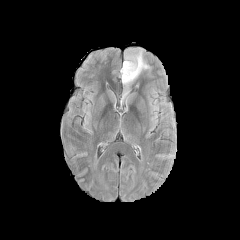
FLAIR MR image.
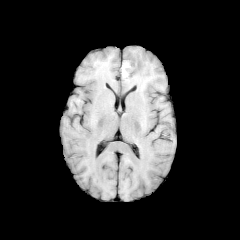
T1-weighted magnetic resonance of the same slice.
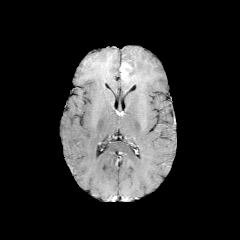
Post-contrast T1-weighted MR image.
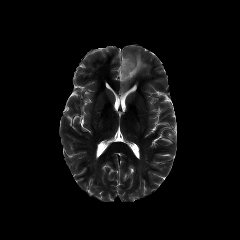
Same slice, T2-weighted magnetic resonance.
Axial plane; 240x240
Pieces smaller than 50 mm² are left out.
The enhancing tumor is located at [120,63,131,79]. The largest necrotic tumor core region lies within [124,60,135,79]. The peritumoral edema is located at [122,50,149,88].